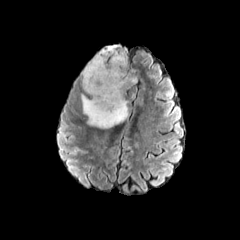
FLAIR magnetic resonance.
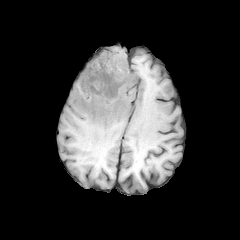
Same slice, T1-weighted MR image.
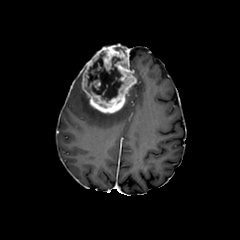
Post-contrast T1-weighted magnetic resonance of the same slice.
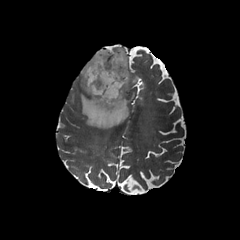
T2-weighted MR.
240x240
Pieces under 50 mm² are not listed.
necrotic tumor core = (85, 54, 123, 107)
enhancing tumor = (81, 44, 136, 114)
peritumoral edema = (80, 93, 135, 128)